Brain; Slice index 101
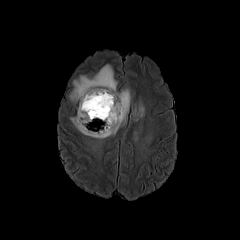
FLAIR MR image.
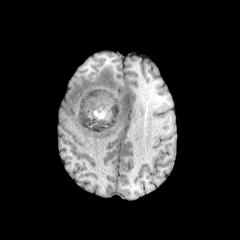
T1-weighted magnetic resonance.
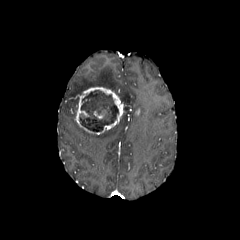
Same slice, post-contrast T1-weighted MR.
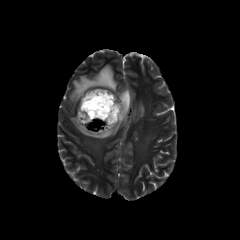
T2-weighted MR.
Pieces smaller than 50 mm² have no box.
<segmentation>
  <necrotic_tumor_core>[x1=80, y1=90, x2=118, y2=131]</necrotic_tumor_core>
  <enhancing_tumor>[x1=94, y1=111, x2=105, y2=118], [x1=75, y1=87, x2=125, y2=134]</enhancing_tumor>
  <peritumoral_edema>[x1=70, y1=107, x2=129, y2=139], [x1=69, y1=64, x2=131, y2=104], [x1=134, y1=104, x2=144, y2=120]</peritumoral_edema>
</segmentation>